Slice index 127; Head; Axial plane
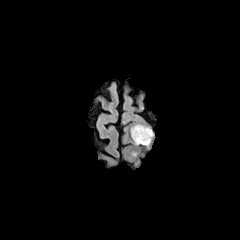
FLAIR MR.
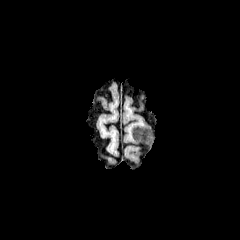
Same slice, T1-weighted MR.
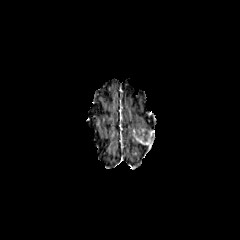
Same slice, post-contrast T1-weighted MR image.
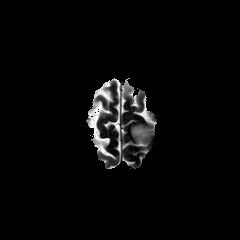
Same slice, T2-weighted MRI.
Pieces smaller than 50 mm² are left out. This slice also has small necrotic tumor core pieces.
{"peritumoral_edema": ["rect(130, 124, 150, 144)"], "enhancing_tumor": ["rect(132, 127, 153, 145)"]}